FLAIR magnetic resonance.
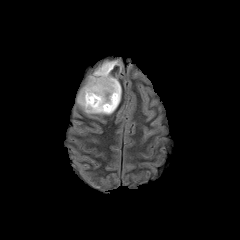
T1-weighted MR.
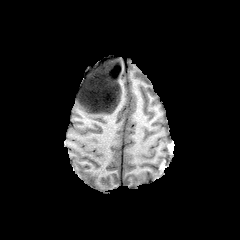
Post-contrast T1-weighted MR image.
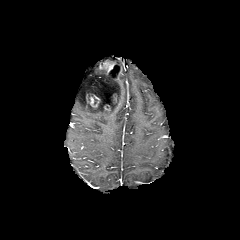
T2-weighted MR image.
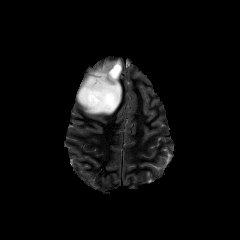
Head.
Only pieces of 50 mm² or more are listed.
Findings:
- peritumoral edema: rect(76, 67, 121, 116)
- enhancing tumor: rect(86, 94, 100, 107); rect(99, 61, 116, 74)
- necrotic tumor core: rect(86, 61, 121, 113)